Slice 72/155
FLAIR magnetic resonance.
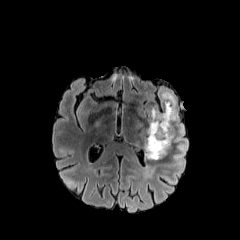
T1-weighted magnetic resonance.
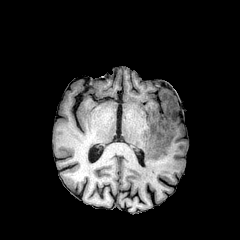
Post-contrast T1-weighted MRI.
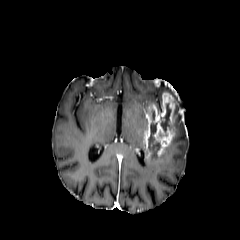
T2-weighted magnetic resonance.
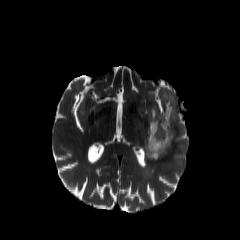
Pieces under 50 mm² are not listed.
The peritumoral edema is bounded by box(145, 86, 188, 172). The enhancing tumor is located at box(143, 92, 176, 160). The 2 largest necrotic tumor core regions are bounded by box(148, 123, 160, 157); box(161, 103, 170, 132).